Slice index 49, Axial plane
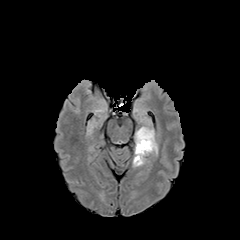
FLAIR MR image.
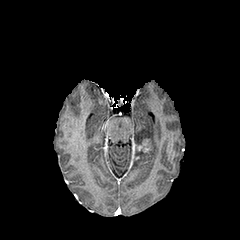
T1-weighted MR.
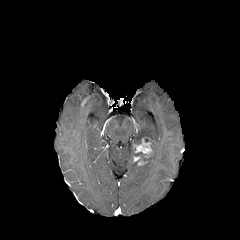
Same slice, post-contrast T1-weighted MR image.
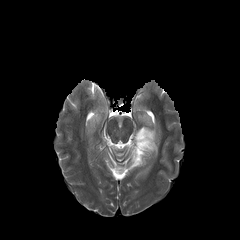
T2-weighted magnetic resonance of the same slice.
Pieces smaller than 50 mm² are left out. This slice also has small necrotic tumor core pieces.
2 enhancing tumor regions appear at x1=135, y1=138, x2=152, y2=156; x1=133, y1=156, x2=144, y2=165. The largest peritumoral edema region is bounded by x1=135, y1=126, x2=158, y2=156.